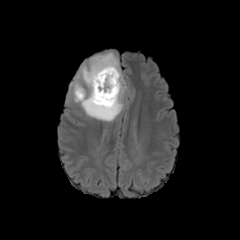
FLAIR MR image.
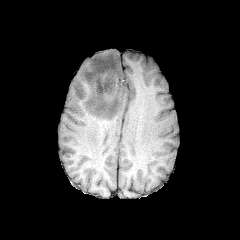
T1-weighted MR of the same slice.
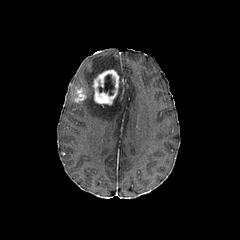
Post-contrast T1-weighted MRI of the same slice.
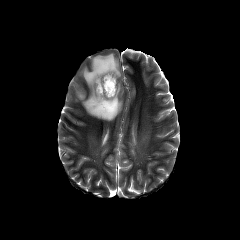
T2-weighted MRI.
Brain. 240x240.
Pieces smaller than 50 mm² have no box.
necrotic tumor core: l=98, t=74, r=114, b=95 | enhancing tumor: l=93, t=69, r=119, b=105; l=72, t=85, r=86, b=102 | peritumoral edema: l=79, t=53, r=123, b=121; l=70, t=81, r=82, b=98